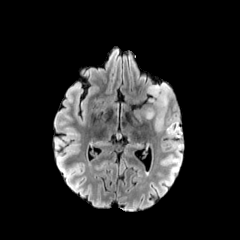
FLAIR MRI.
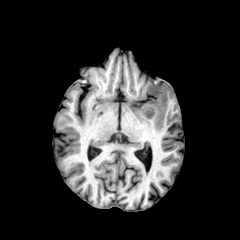
T1-weighted MR.
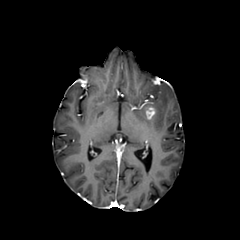
Post-contrast T1-weighted magnetic resonance of the same slice.
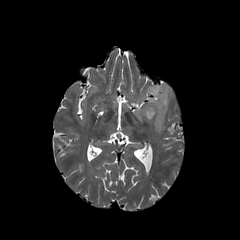
T2-weighted MR of the same slice.
Head, 240x240 px
enhancing tumor: (146, 107, 155, 119)
peritumoral edema: (135, 83, 171, 131)